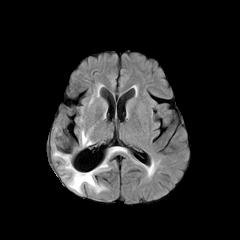
FLAIR MR.
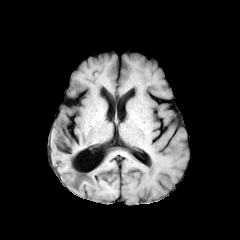
T1-weighted MR of the same slice.
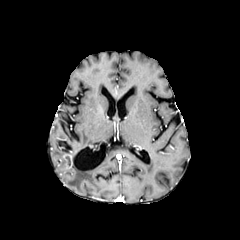
Post-contrast T1-weighted magnetic resonance.
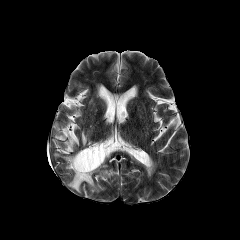
T2-weighted magnetic resonance.
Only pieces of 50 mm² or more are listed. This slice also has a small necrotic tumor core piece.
enhancing tumor — [x1=62, y1=154, x2=73, y2=168]
peritumoral edema — [x1=81, y1=130, x2=93, y2=146], [x1=61, y1=147, x2=121, y2=192], [x1=53, y1=151, x2=63, y2=159]